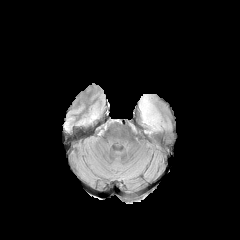
FLAIR MR image.
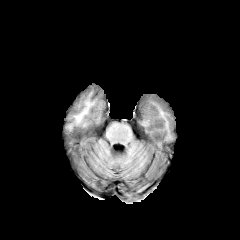
T1-weighted MR image.
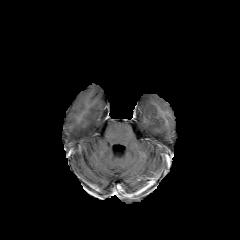
Post-contrast T1-weighted MRI.
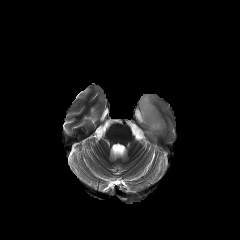
T2-weighted MRI.
The peritumoral edema is bounded by rect(139, 94, 164, 134).